FLAIR MRI.
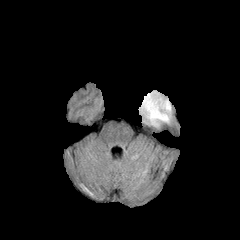
T1-weighted MR image.
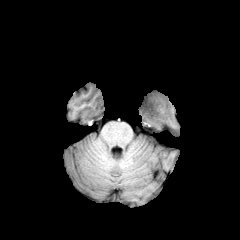
Post-contrast T1-weighted MR image.
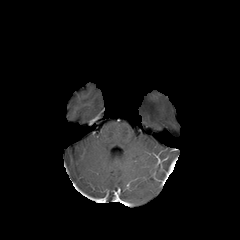
T2-weighted magnetic resonance.
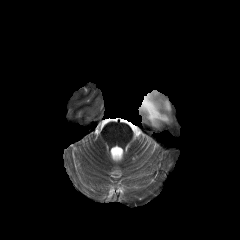
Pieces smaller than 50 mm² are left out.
<segmentation>
  <enhancing_tumor>x1=141 y1=97 x2=158 y2=116</enhancing_tumor>
  <peritumoral_edema>x1=138 y1=90 x2=171 y2=127</peritumoral_edema>
  <necrotic_tumor_core>x1=142 y1=98 x2=156 y2=116</necrotic_tumor_core>
</segmentation>